Brain. Slice index 88. Axial slice.
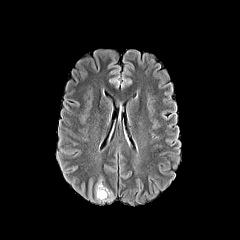
FLAIR MRI.
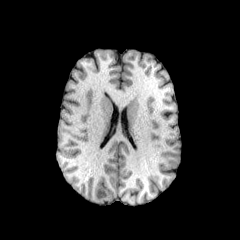
Same slice, T1-weighted MR.
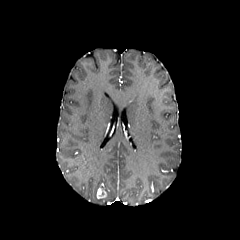
Same slice, post-contrast T1-weighted magnetic resonance.
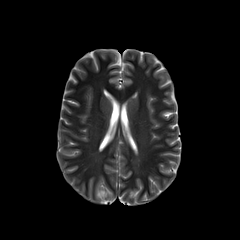
Same slice, T2-weighted MRI.
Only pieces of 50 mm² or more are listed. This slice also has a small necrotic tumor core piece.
enhancing tumor: bounding box box=[96, 188, 106, 198]
peritumoral edema: bounding box box=[95, 178, 113, 202]